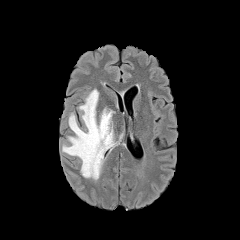
FLAIR magnetic resonance.
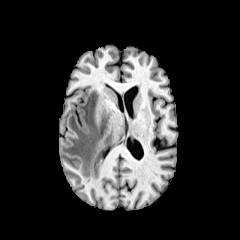
Same slice, T1-weighted MR.
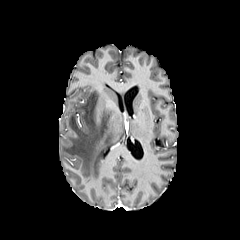
Post-contrast T1-weighted MR image.
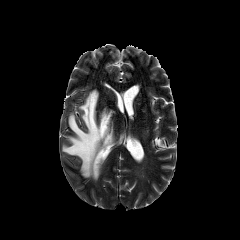
T2-weighted MRI of the same slice.
240x240 px | Brain
The peritumoral edema is at x1=62 y1=89 x2=116 y2=180.